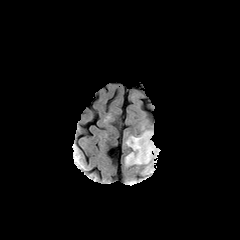
FLAIR MR.
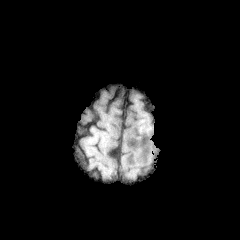
T1-weighted magnetic resonance of the same slice.
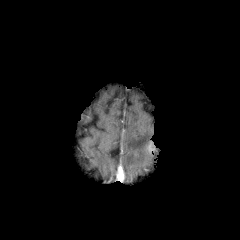
Post-contrast T1-weighted MRI of the same slice.
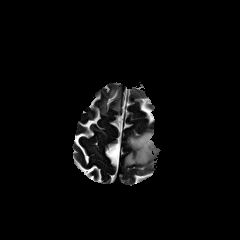
T2-weighted MR.
Brain
enhancing_tumor:
  - [x1=146, y1=141, x2=154, y2=152]
peritumoral_edema:
  - [x1=125, y1=130, x2=159, y2=165]